FLAIR MR.
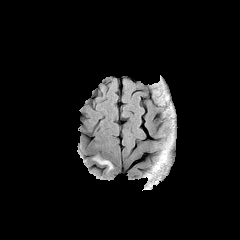
T1-weighted MR image.
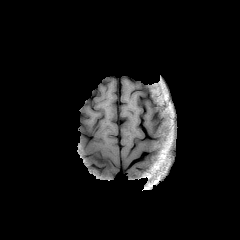
Post-contrast T1-weighted MRI.
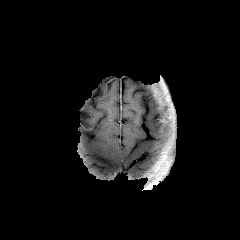
T2-weighted magnetic resonance.
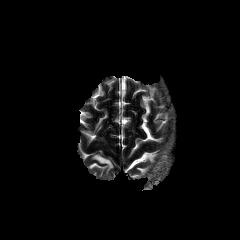
240x240 px, Axial slice
The peritumoral edema appears at bbox(93, 155, 113, 172).